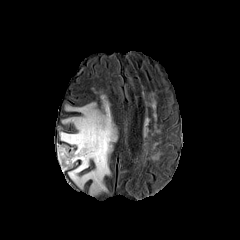
FLAIR MR.
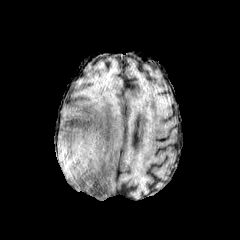
T1-weighted MR image.
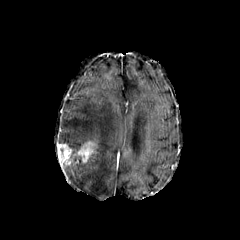
Post-contrast T1-weighted magnetic resonance.
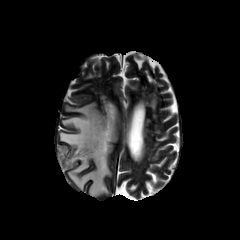
T2-weighted MRI.
Axial slice. Image size 240x240.
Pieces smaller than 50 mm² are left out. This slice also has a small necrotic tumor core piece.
enhancing tumor: bounding box (left=60, top=141, right=97, bottom=171)
peritumoral edema: bounding box (left=60, top=102, right=115, bottom=194)